FLAIR MRI.
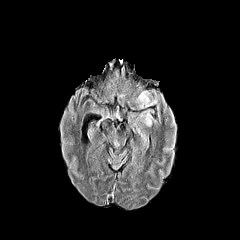
T1-weighted MR.
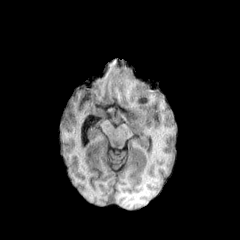
Post-contrast T1-weighted MR.
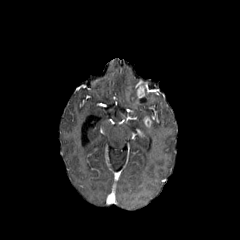
T2-weighted MR.
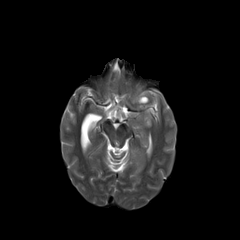
2 peritumoral edema regions are bounded by bbox(141, 109, 153, 120); bbox(137, 90, 150, 107). 2 enhancing tumor regions are bounded by bbox(137, 86, 144, 98); bbox(144, 116, 151, 126).